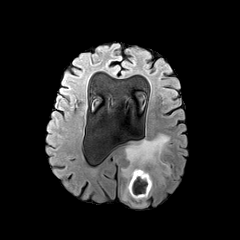
FLAIR MR image.
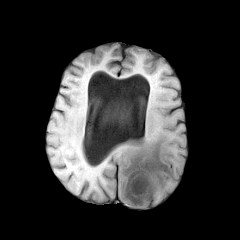
Same slice, T1-weighted magnetic resonance.
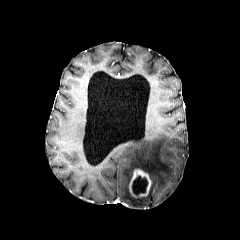
Post-contrast T1-weighted MR image.
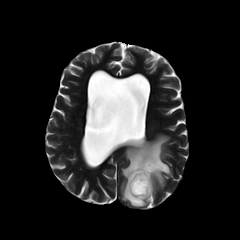
Same slice, T2-weighted magnetic resonance.
Brain | Image size 240x240 | Axial plane
necrotic tumor core: bounding box box(132, 176, 147, 195)
peritumoral edema: bounding box box(122, 135, 170, 206)
enhancing tumor: bounding box box(129, 169, 151, 197)